Image width 240 mm, Slice 118 of 155
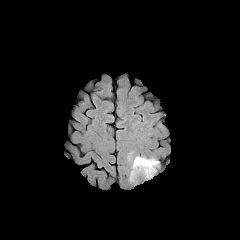
FLAIR MR image.
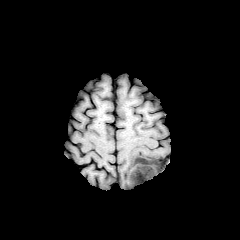
Same slice, T1-weighted MR image.
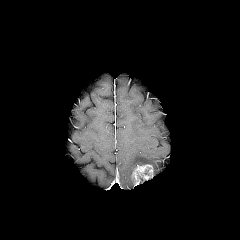
Post-contrast T1-weighted MR of the same slice.
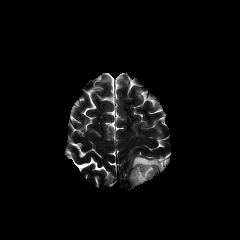
Same slice, T2-weighted MR image.
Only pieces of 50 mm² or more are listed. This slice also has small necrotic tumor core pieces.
<segmentation>
  <peritumoral_edema>[130,156,158,181]</peritumoral_edema>
  <enhancing_tumor>[131,164,153,185]</enhancing_tumor>
</segmentation>